FLAIR MR.
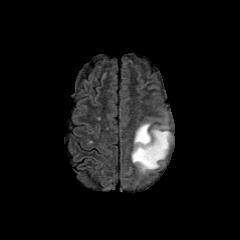
T1-weighted MR.
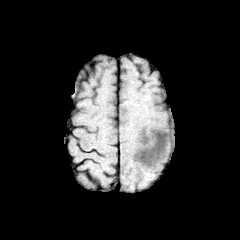
Post-contrast T1-weighted MR.
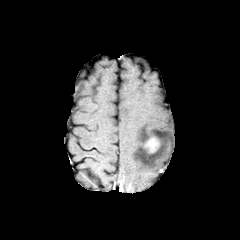
T2-weighted magnetic resonance.
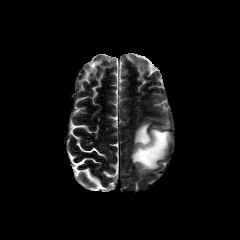
240x240 px; Head; Axial view
* enhancing tumor: (145, 137, 160, 153)
* peritumoral edema: (131, 122, 172, 173)